240x240. Brain. Axial plane. Image covers 240 mm x 240 mm.
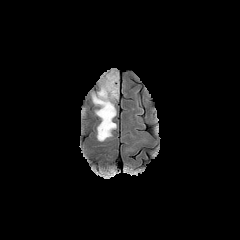
FLAIR magnetic resonance.
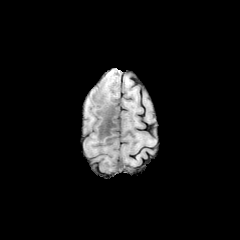
T1-weighted MR image.
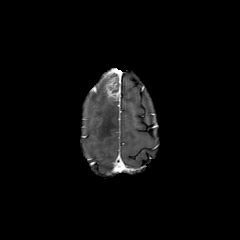
Post-contrast T1-weighted MRI.
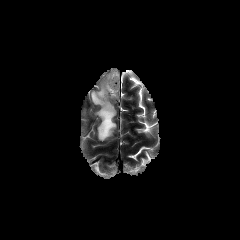
T2-weighted magnetic resonance of the same slice.
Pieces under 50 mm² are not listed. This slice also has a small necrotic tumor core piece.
peritumoral edema: [81, 101, 88, 118], [92, 79, 116, 141]
enhancing tumor: [104, 68, 119, 100]